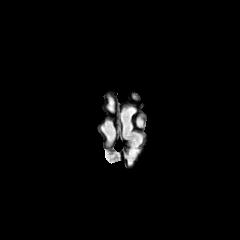
FLAIR magnetic resonance.
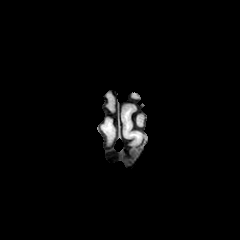
Same slice, T1-weighted MRI.
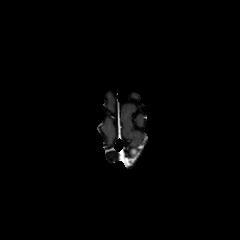
Same slice, post-contrast T1-weighted MRI.
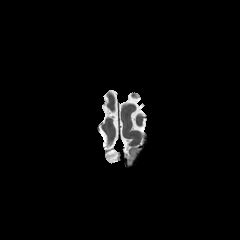
T2-weighted magnetic resonance.
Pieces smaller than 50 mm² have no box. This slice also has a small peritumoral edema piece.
Findings:
• enhancing tumor: l=128, t=149, r=137, b=162